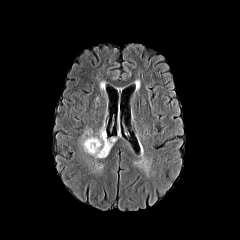
FLAIR MR image.
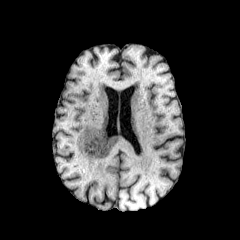
T1-weighted MR of the same slice.
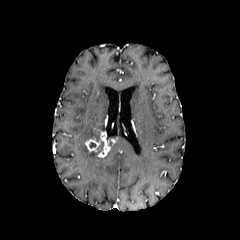
Post-contrast T1-weighted magnetic resonance of the same slice.
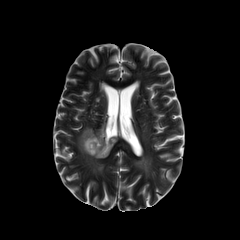
T2-weighted MR image of the same slice.
Axial slice; Head
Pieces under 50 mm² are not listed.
<segmentation>
  <enhancing_tumor>l=85, t=132, r=114, b=157</enhancing_tumor>
  <necrotic_tumor_core>l=97, t=141, r=103, b=153</necrotic_tumor_core>
  <peritumoral_edema>l=81, t=129, r=107, b=159; l=111, t=136, r=119, b=148</peritumoral_edema>
</segmentation>